Image size 240x240, Brain
FLAIR MR image.
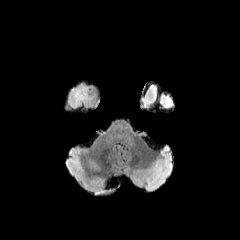
T1-weighted MR image.
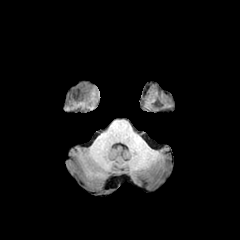
Post-contrast T1-weighted magnetic resonance.
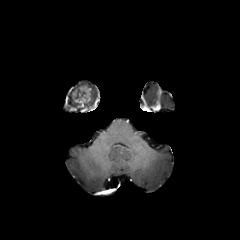
T2-weighted MR.
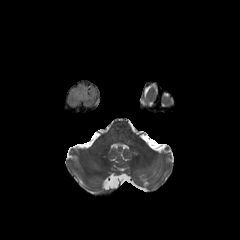
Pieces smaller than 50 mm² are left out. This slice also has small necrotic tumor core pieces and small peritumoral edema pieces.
enhancing_tumor:
  - [x1=69, y1=85, x2=91, y2=105]